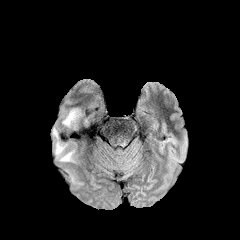
FLAIR magnetic resonance.
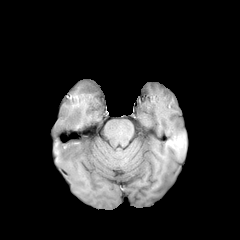
T1-weighted MR image.
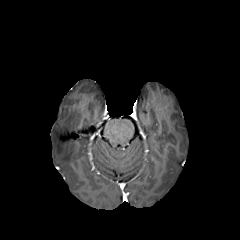
Post-contrast T1-weighted MR image.
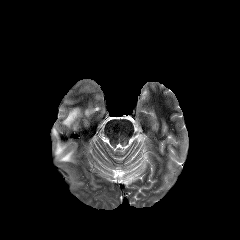
T2-weighted MR image of the same slice.
Brain. Axial view.
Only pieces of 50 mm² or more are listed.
Annotated regions:
- peritumoral edema: rect(55, 142, 74, 161); rect(62, 108, 81, 126)